FLAIR MR image.
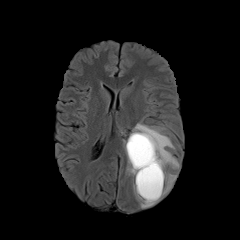
T1-weighted MRI.
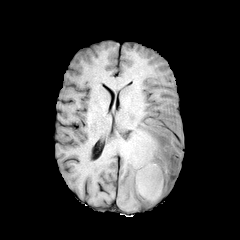
Post-contrast T1-weighted MRI.
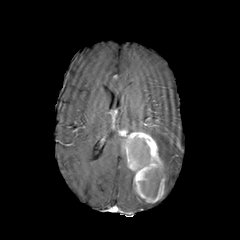
T2-weighted magnetic resonance.
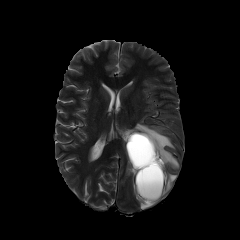
Axial slice. Head.
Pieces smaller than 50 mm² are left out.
2 necrotic tumor core regions appear at 139,168,161,199; 127,135,154,171. The 2 largest peritumoral edema regions appear at 126,164,155,208; 132,122,179,194. The enhancing tumor is bounded by 125,132,165,203.